Head
FLAIR MR.
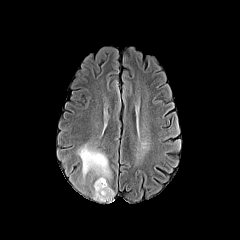
T1-weighted MR image.
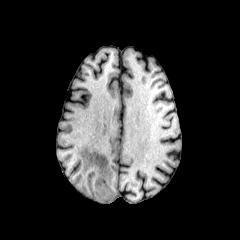
Post-contrast T1-weighted magnetic resonance.
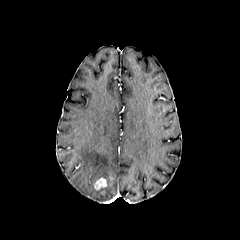
T2-weighted MRI.
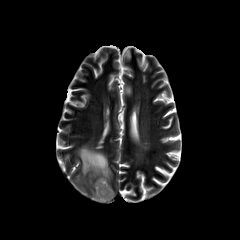
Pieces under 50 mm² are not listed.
peritumoral edema = left=78, top=144, right=114, bottom=201
enhancing tumor = left=94, top=178, right=106, bottom=190